Image width 240 mm, 1.00 mm slice spacing; Slice 81 of 155; 240x240; Brain
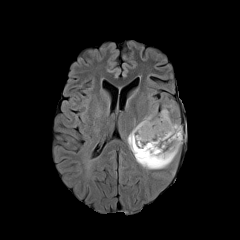
FLAIR magnetic resonance.
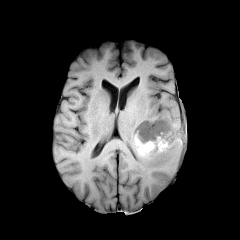
T1-weighted MRI.
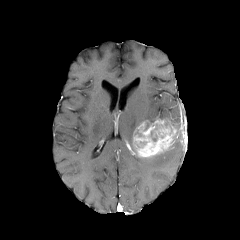
Post-contrast T1-weighted magnetic resonance.
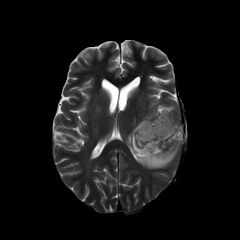
Same slice, T2-weighted MRI.
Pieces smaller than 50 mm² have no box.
Segmented structures:
- necrotic tumor core: [136,141,147,148]
- peritumoral edema: [127,108,182,169], [94,107,101,116], [142,114,153,122]
- enhancing tumor: [133,119,176,157]